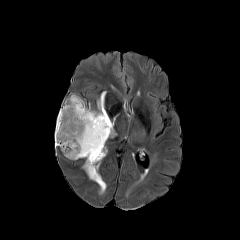
FLAIR MR.
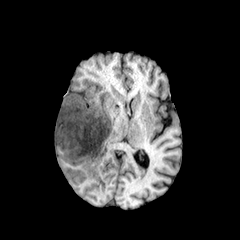
T1-weighted MR image.
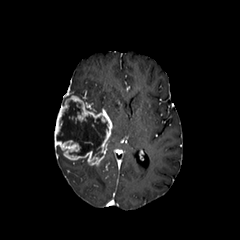
Post-contrast T1-weighted magnetic resonance of the same slice.
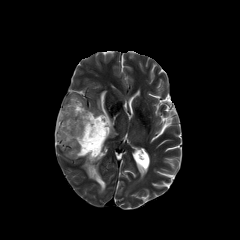
T2-weighted magnetic resonance.
Axial view. Head. Image size 240x240.
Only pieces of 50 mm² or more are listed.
The largest necrotic tumor core region is at 57:100:107:157. The largest enhancing tumor region is bounded by 54:95:112:166. The 3 largest peritumoral edema regions are bounded by 96:91:106:113, 82:157:106:194, 110:114:118:137.